FLAIR magnetic resonance.
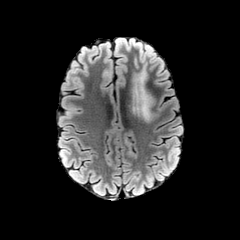
T1-weighted MRI.
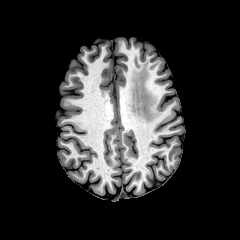
Post-contrast T1-weighted magnetic resonance.
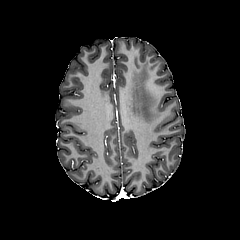
T2-weighted MR image.
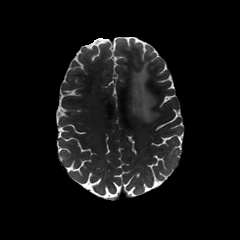
peritumoral edema = bbox(131, 67, 155, 122)